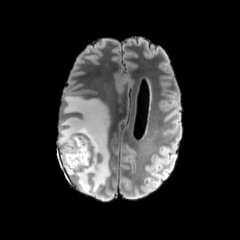
FLAIR MRI.
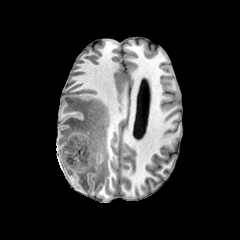
Same slice, T1-weighted MR image.
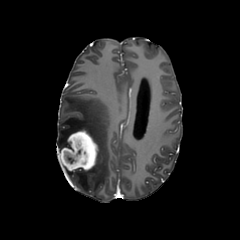
Post-contrast T1-weighted MR image.
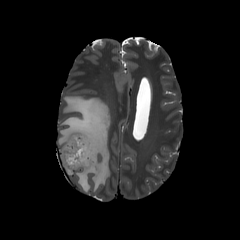
T2-weighted MR.
Head; Axial slice
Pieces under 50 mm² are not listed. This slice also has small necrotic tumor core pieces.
<segmentation>
  <enhancing_tumor>box=[60, 129, 98, 171]</enhancing_tumor>
  <peritumoral_edema>box=[57, 95, 110, 194]</peritumoral_edema>
</segmentation>